240x240 | Brain | Slice index 86
FLAIR MR.
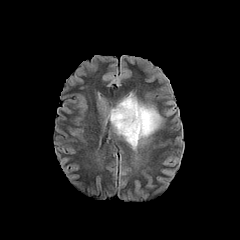
T1-weighted magnetic resonance.
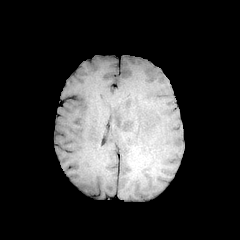
Post-contrast T1-weighted MR.
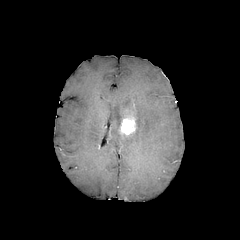
T2-weighted MR.
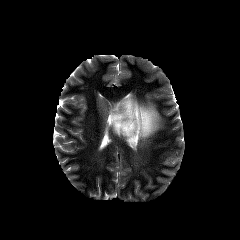
The peritumoral edema is at l=108, t=93, r=161, b=149. The enhancing tumor is located at l=119, t=114, r=136, b=135.